Image covers 240 mm x 240 mm, Head
FLAIR magnetic resonance.
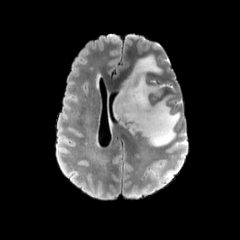
T1-weighted MR image.
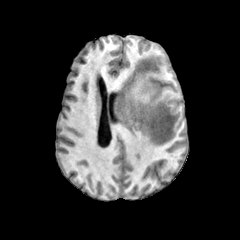
Post-contrast T1-weighted MRI.
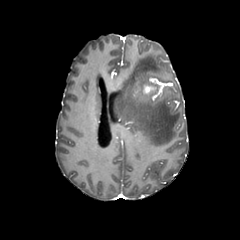
T2-weighted MR.
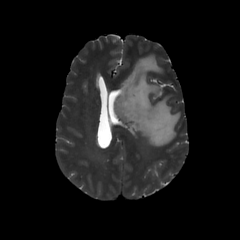
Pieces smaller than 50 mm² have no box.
The enhancing tumor is located at [143, 84, 159, 93]. The largest peritumoral edema region is located at [114, 55, 180, 146].